Image size 240x240 | Axial slice | Image width 240 mm
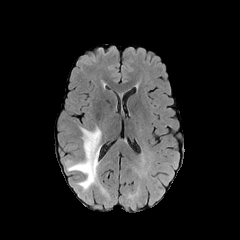
FLAIR magnetic resonance.
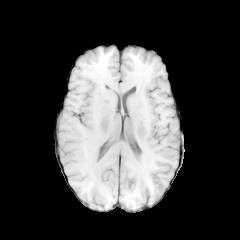
T1-weighted MRI of the same slice.
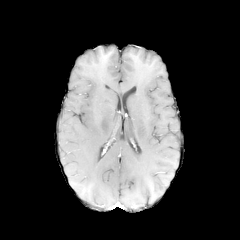
Post-contrast T1-weighted MR image.
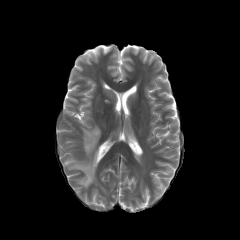
Same slice, T2-weighted MR.
The peritumoral edema is located at 65 126 106 193.